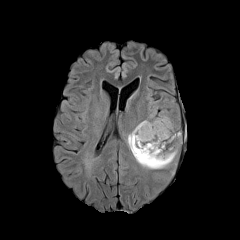
FLAIR MRI.
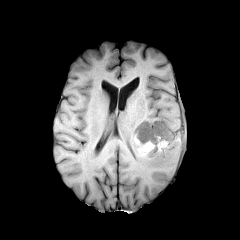
T1-weighted magnetic resonance of the same slice.
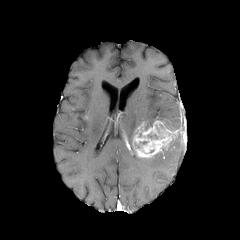
Post-contrast T1-weighted MR of the same slice.
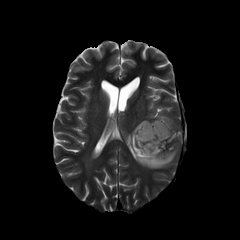
T2-weighted MR of the same slice.
240x240. Head.
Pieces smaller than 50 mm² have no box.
peritumoral edema: bounding box (x1=157, y1=115, x2=172, y2=129), (x1=127, y1=127, x2=177, y2=169)
necrotic tumor core: bounding box (x1=135, y1=141, x2=148, y2=151)
enhancing tumor: bounding box (x1=133, y1=120, x2=176, y2=157)